Slice 127/155. Axial plane. Head. Image covers 240 mm x 240 mm.
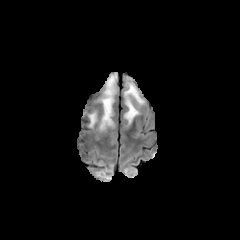
FLAIR MRI.
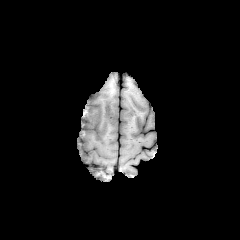
T1-weighted MR image.
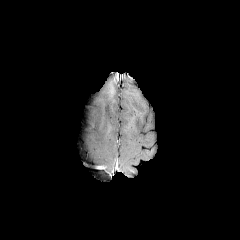
Post-contrast T1-weighted MR image of the same slice.
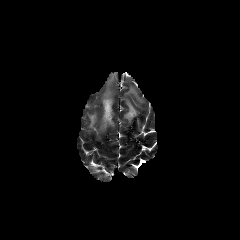
Same slice, T2-weighted magnetic resonance.
• peritumoral edema: (left=87, top=109, right=99, bottom=128), (left=90, top=73, right=116, bottom=133), (left=121, top=82, right=145, bottom=128)